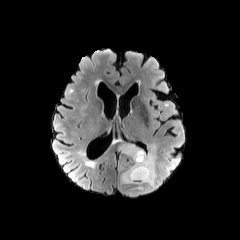
FLAIR MRI.
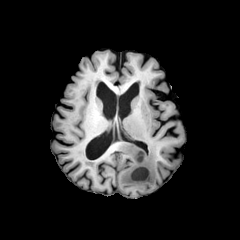
T1-weighted MR image.
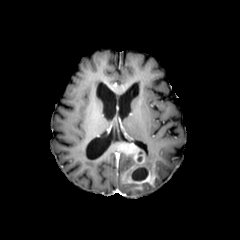
Post-contrast T1-weighted MR image of the same slice.
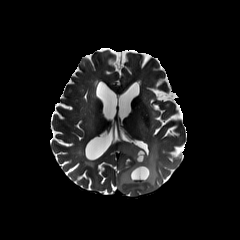
T2-weighted MR of the same slice.
240x240; Axial plane
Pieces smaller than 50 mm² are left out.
{"peritumoral_edema": ["region(138, 142, 157, 168)", "region(120, 166, 161, 195)"], "enhancing_tumor": ["region(116, 142, 155, 188)"], "necrotic_tumor_core": ["region(131, 167, 148, 180)"]}